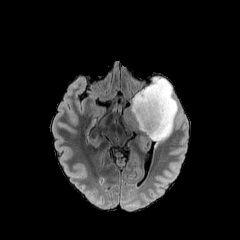
FLAIR magnetic resonance.
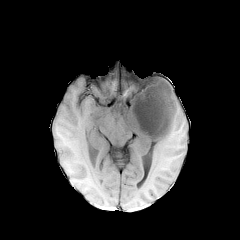
T1-weighted MRI.
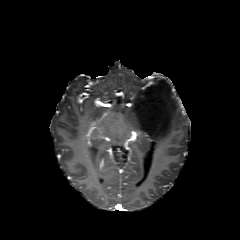
Post-contrast T1-weighted MR image of the same slice.
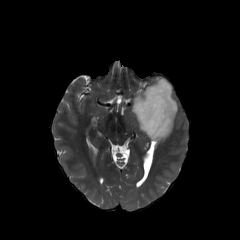
Same slice, T2-weighted MR image.
Image size 240x240; Axial plane
The peritumoral edema is at (124,77,178,143).